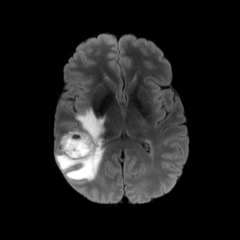
FLAIR MRI.
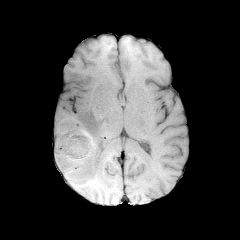
Same slice, T1-weighted MR.
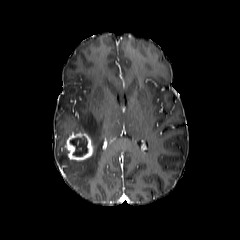
Post-contrast T1-weighted magnetic resonance.
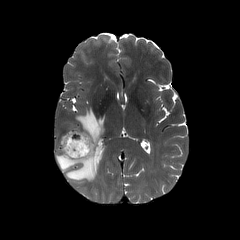
T2-weighted MR of the same slice.
Axial slice
necrotic tumor core at 70,137,87,156
enhancing tumor at 64,132,93,161
peritumoral edema at 55,108,104,181